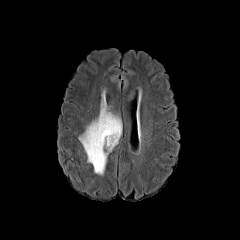
FLAIR magnetic resonance.
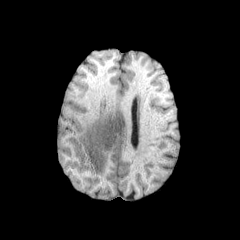
T1-weighted MRI of the same slice.
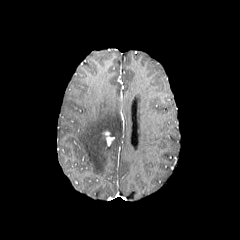
Post-contrast T1-weighted magnetic resonance.
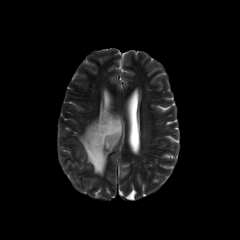
T2-weighted MRI.
Brain
enhancing tumor = (103, 131, 114, 145)
peritumoral edema = (78, 101, 121, 175)